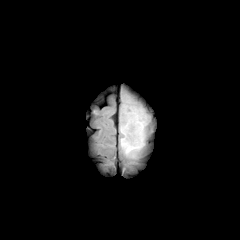
FLAIR MR.
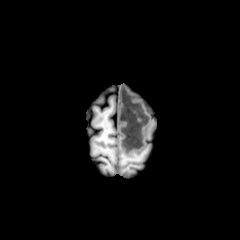
T1-weighted MR image.
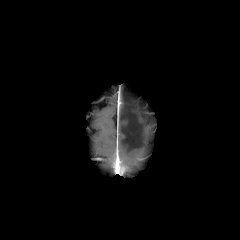
Post-contrast T1-weighted MRI of the same slice.
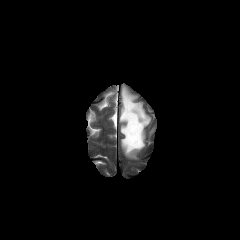
T2-weighted MRI of the same slice.
The peritumoral edema is located at left=120, top=94, right=148, bottom=157.